FLAIR MR image.
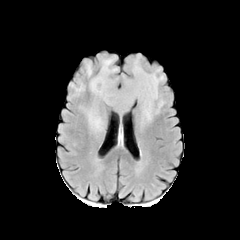
T1-weighted MRI.
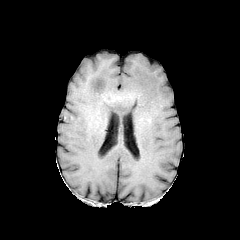
Post-contrast T1-weighted MR.
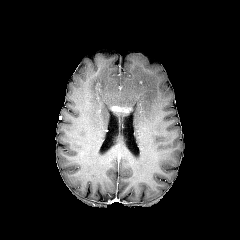
T2-weighted magnetic resonance.
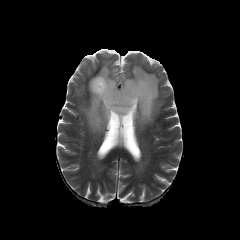
Image size 240x240, Axial slice, Head
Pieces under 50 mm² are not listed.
enhancing_tumor:
  - <box>111,106,130,112</box>
peritumoral_edema:
  - <box>86,64,91,75</box>
  - <box>86,58,164,131</box>